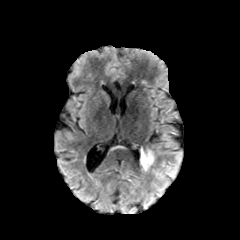
FLAIR magnetic resonance.
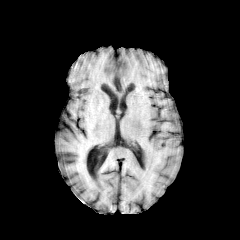
T1-weighted MR image.
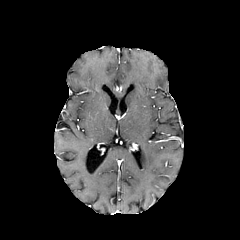
Same slice, post-contrast T1-weighted MR.
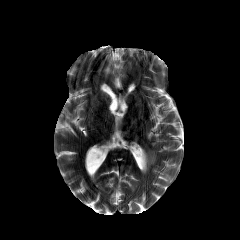
T2-weighted MR.
240x240. Axial view.
{
  "peritumoral_edema": [
    "x1=141 y1=149 x2=154 y2=170"
  ]
}